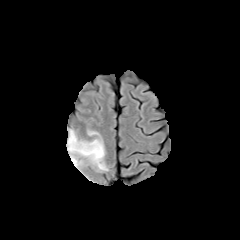
FLAIR MR.
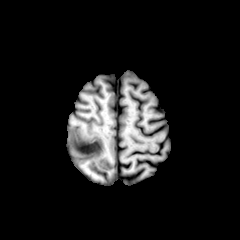
T1-weighted MR image.
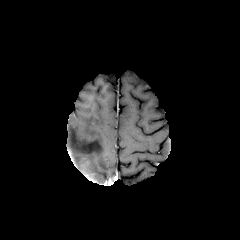
Post-contrast T1-weighted MR.
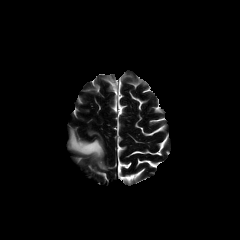
T2-weighted MR image of the same slice.
Head.
peritumoral edema: {"x1": 67, "y1": 128, "x2": 108, "y2": 170}